Axial slice. Head. Image covers 240 mm x 240 mm.
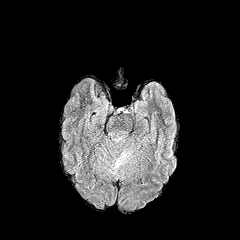
FLAIR MR.
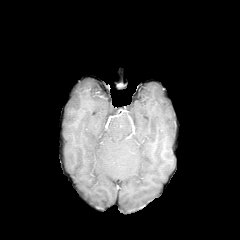
T1-weighted magnetic resonance.
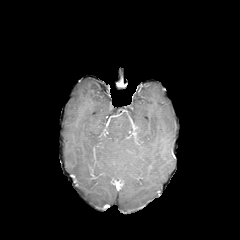
Post-contrast T1-weighted magnetic resonance.
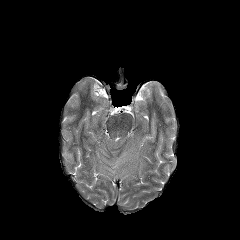
T2-weighted magnetic resonance.
Annotated regions:
- peritumoral edema: bbox=[109, 150, 130, 173]